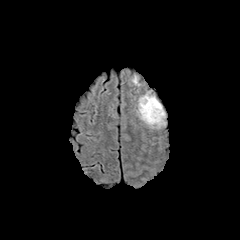
FLAIR MR.
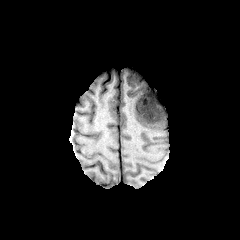
T1-weighted MRI.
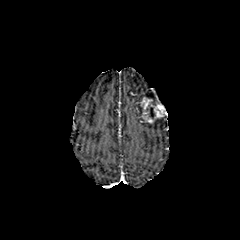
Same slice, post-contrast T1-weighted magnetic resonance.
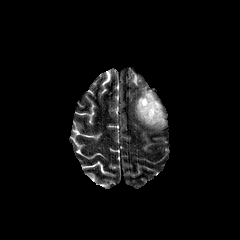
Same slice, T2-weighted MR image.
Head
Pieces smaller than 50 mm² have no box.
peritumoral edema = <box>144,92,156,104</box>, <box>146,118,165,126</box>, <box>138,96,143,117</box>
enhancing tumor = <box>139,96,166,123</box>